Head. Image width 240 mm, 1.00 mm slice spacing. Slice index 95.
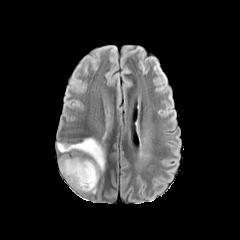
FLAIR MR image.
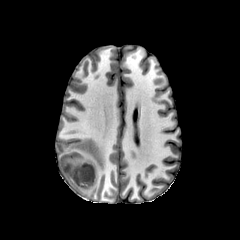
T1-weighted magnetic resonance of the same slice.
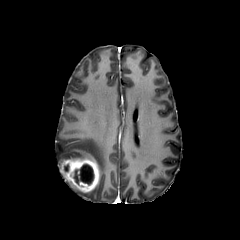
Post-contrast T1-weighted MR of the same slice.
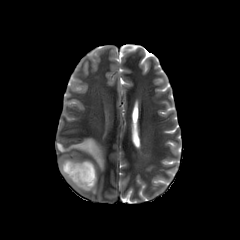
T2-weighted magnetic resonance.
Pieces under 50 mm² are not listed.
The largest peritumoral edema region lies within left=56, top=138, right=105, bottom=171. The largest enhancing tumor region is located at left=59, top=158, right=99, bottom=192. The largest necrotic tumor core region appears at left=73, top=164, right=94, bottom=184.